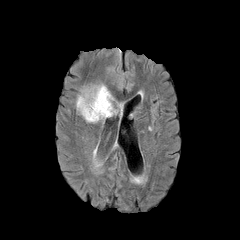
FLAIR MRI.
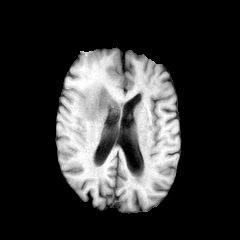
T1-weighted MR.
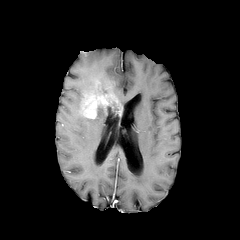
Post-contrast T1-weighted magnetic resonance of the same slice.
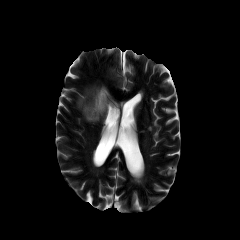
Same slice, T2-weighted magnetic resonance.
Image size 240x240
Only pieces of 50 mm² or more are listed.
The enhancing tumor is located at <box>81,89,122,119</box>. The 3 largest peritumoral edema regions are bounded by <box>83,84,110,93</box>, <box>76,95,82,112</box>, <box>84,102,118,122</box>.